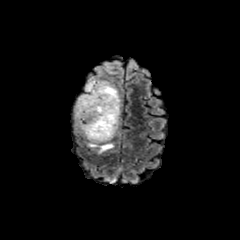
FLAIR MR image.
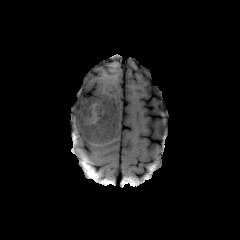
Same slice, T1-weighted MR.
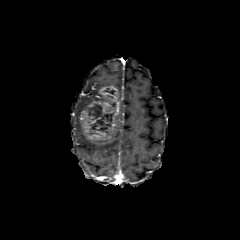
Post-contrast T1-weighted MR image.
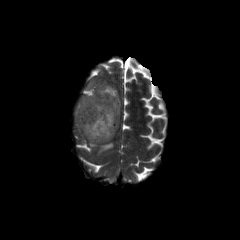
Same slice, T2-weighted MRI.
Brain
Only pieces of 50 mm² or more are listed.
{
  "enhancing_tumor": [
    "79 85 120 141"
  ],
  "necrotic_tumor_core": [
    "88 104 113 133"
  ],
  "peritumoral_edema": [
    "76 80 114 131",
    "88 139 114 154"
  ]
}